Slice index 82, Head
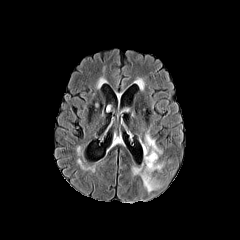
FLAIR MR.
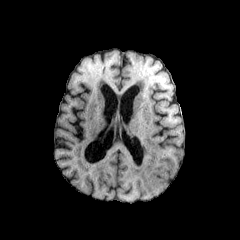
T1-weighted MR image.
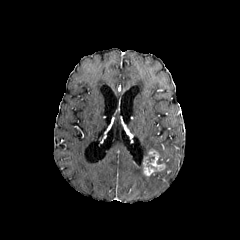
Same slice, post-contrast T1-weighted magnetic resonance.
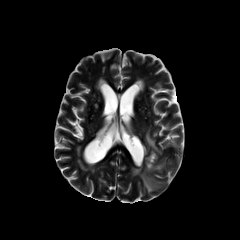
T2-weighted MR image.
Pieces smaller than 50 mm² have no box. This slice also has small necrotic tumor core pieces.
peritumoral_edema:
  - (132, 165, 160, 192)
  - (145, 131, 162, 156)
enhancing_tumor:
  - (143, 149, 164, 176)